240x240; Slice 62 of 155; Brain
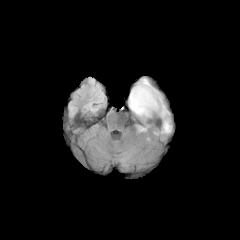
FLAIR MR.
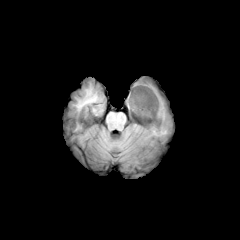
T1-weighted magnetic resonance.
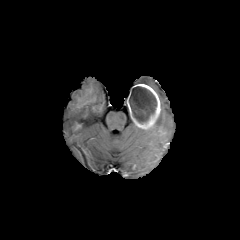
Post-contrast T1-weighted MR.
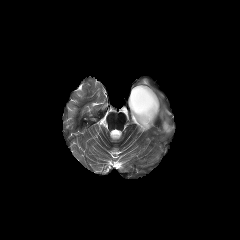
T2-weighted magnetic resonance of the same slice.
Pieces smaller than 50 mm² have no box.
Segmented structures:
• enhancing tumor: x1=127, y1=84, x2=160, y2=129
• necrotic tumor core: x1=129, y1=86, x2=156, y2=122
• peritumoral edema: x1=154, y1=89, x2=171, y2=133; x1=138, y1=78, x2=152, y2=87